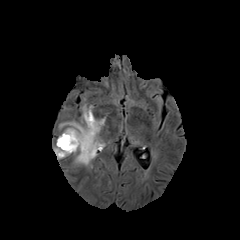
FLAIR MR.
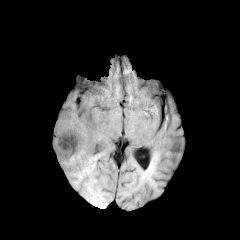
Same slice, T1-weighted MRI.
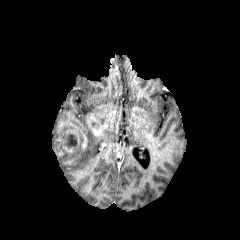
Same slice, post-contrast T1-weighted MR.
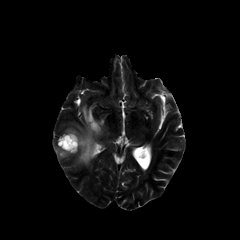
T2-weighted MR image of the same slice.
Brain.
{
  "enhancing_tumor": [
    "86 113 101 135",
    "58 130 86 155"
  ],
  "peritumoral_edema": [
    "59 104 104 165",
    "97 118 104 129",
    "54 139 71 158"
  ],
  "necrotic_tumor_core": [
    "68 135 77 146"
  ]
}